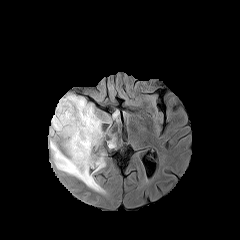
FLAIR MR.
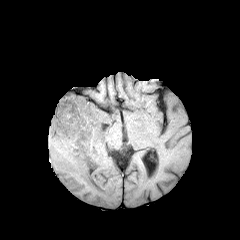
T1-weighted MRI of the same slice.
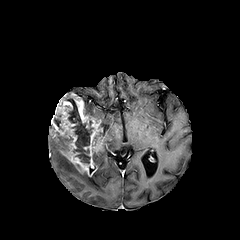
Post-contrast T1-weighted magnetic resonance.
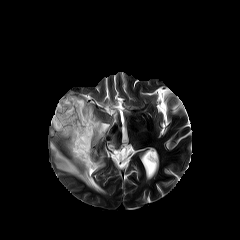
T2-weighted magnetic resonance.
240x240 px. Axial slice.
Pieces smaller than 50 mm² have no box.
enhancing tumor: 50, 92, 104, 176 | peritumoral edema: 57, 139, 67, 151; 50, 138, 105, 193; 108, 138, 115, 148; 93, 152, 105, 171; 81, 97, 100, 118 | necrotic tumor core: 66, 98, 93, 163